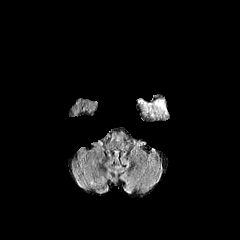
FLAIR MR image.
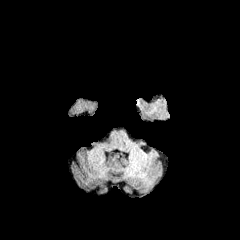
T1-weighted MRI of the same slice.
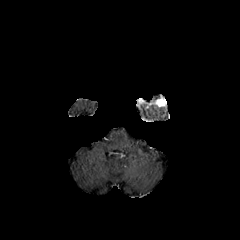
Post-contrast T1-weighted MR.
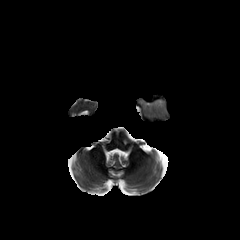
T2-weighted magnetic resonance of the same slice.
Axial view.
<segmentation>
  <enhancing_tumor><box>137,96,166,111</box></enhancing_tumor>
  <peritumoral_edema><box>143,105,166,116</box></peritumoral_edema>
</segmentation>